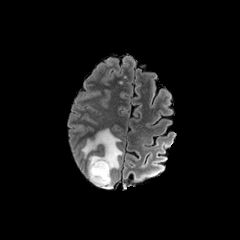
FLAIR MRI.
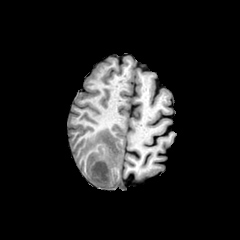
T1-weighted magnetic resonance.
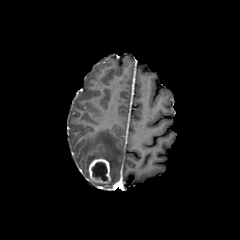
Post-contrast T1-weighted magnetic resonance of the same slice.
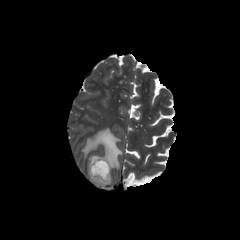
Same slice, T2-weighted MR image.
Image size 240x240; Axial view; Brain
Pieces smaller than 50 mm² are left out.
The largest peritumoral edema region lies within (81,128,122,187). The necrotic tumor core lies within (92,162,107,181). The enhancing tumor is bounded by (88,158,111,189).